Slice 89/155 | 240x240
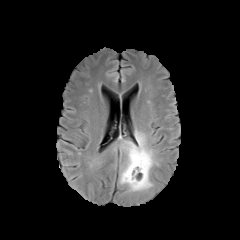
FLAIR magnetic resonance.
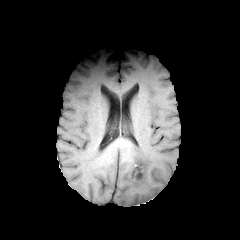
Same slice, T1-weighted MRI.
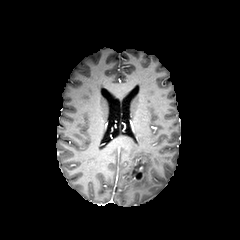
Same slice, post-contrast T1-weighted magnetic resonance.
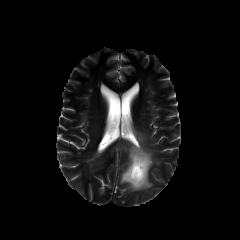
T2-weighted MR of the same slice.
<segmentation>
  <enhancing_tumor>left=131, top=164, right=144, bottom=180</enhancing_tumor>
  <peritumoral_edema>left=120, top=130, right=158, bottom=191</peritumoral_edema>
  <necrotic_tumor_core>left=132, top=166, right=142, bottom=179</necrotic_tumor_core>
</segmentation>